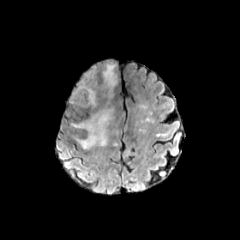
FLAIR magnetic resonance.
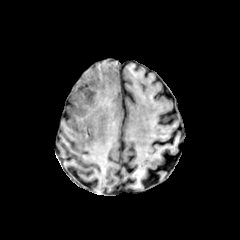
T1-weighted magnetic resonance of the same slice.
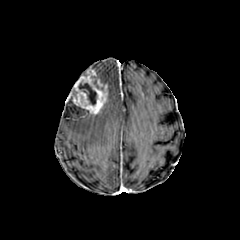
Post-contrast T1-weighted MR image.
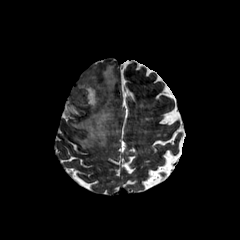
T2-weighted MR.
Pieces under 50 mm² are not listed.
Findings:
* enhancing tumor: (70, 68, 107, 115)
* necrotic tumor core: (78, 83, 96, 105)
* peritumoral edema: (71, 107, 112, 148), (102, 64, 116, 95)